Slice index 66; 240x240; Brain
FLAIR MR image.
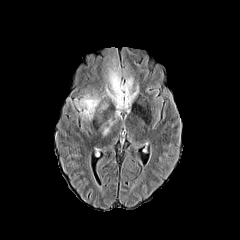
T1-weighted MR.
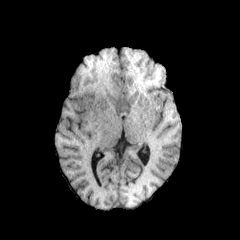
Post-contrast T1-weighted MRI.
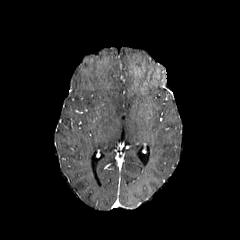
T2-weighted MR.
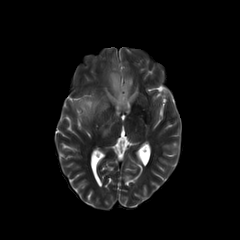
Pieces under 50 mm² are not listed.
peritumoral edema at 106, 69, 138, 114; 75, 95, 99, 119